Brain, Axial slice, Slice index 96
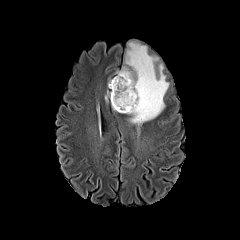
FLAIR MR.
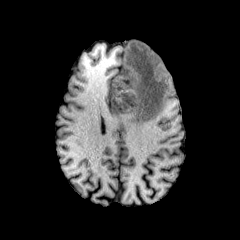
Same slice, T1-weighted MR.
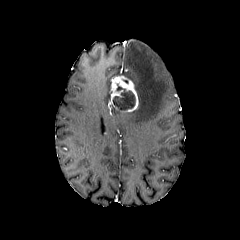
Post-contrast T1-weighted magnetic resonance.
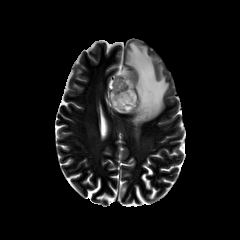
Same slice, T2-weighted MR image.
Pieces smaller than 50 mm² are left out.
The enhancing tumor is located at l=110, t=75, r=138, b=112. The largest peritumoral edema region is bounded by l=116, t=42, r=169, b=125. The largest necrotic tumor core region lies within l=113, t=86, r=135, b=111.